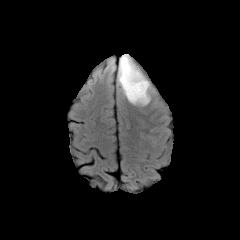
FLAIR MRI.
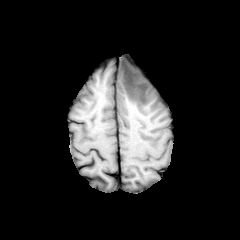
T1-weighted magnetic resonance.
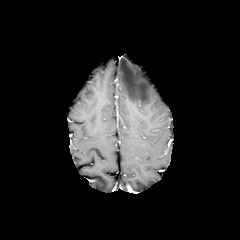
Post-contrast T1-weighted MRI.
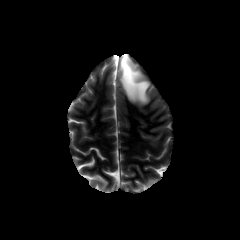
T2-weighted magnetic resonance.
Head
peritumoral edema: bounding box 118 54 150 105